FLAIR MR image.
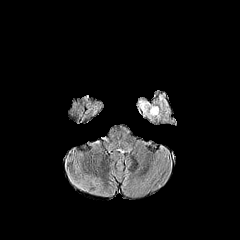
T1-weighted MR.
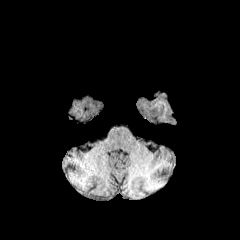
Post-contrast T1-weighted MR image.
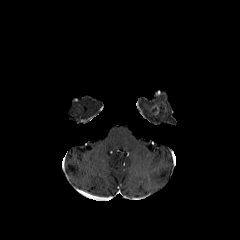
T2-weighted MRI.
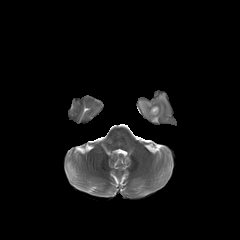
Image size 240x240; Head
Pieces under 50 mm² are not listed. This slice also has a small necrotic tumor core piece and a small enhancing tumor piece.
The largest peritumoral edema region is located at box(139, 99, 159, 118).